Axial view | Head
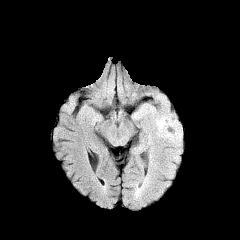
FLAIR MRI.
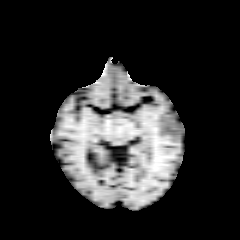
T1-weighted MRI of the same slice.
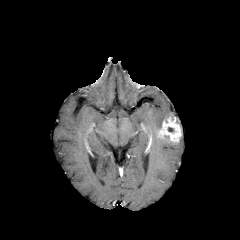
Post-contrast T1-weighted magnetic resonance.
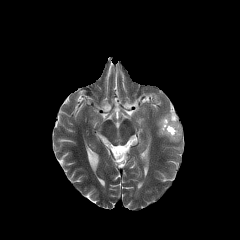
T2-weighted MR image.
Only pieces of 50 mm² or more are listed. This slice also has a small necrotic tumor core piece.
{"enhancing_tumor": ["(158, 113, 182, 142)"], "peritumoral_edema": ["(156, 114, 168, 129)"]}